FLAIR MR image.
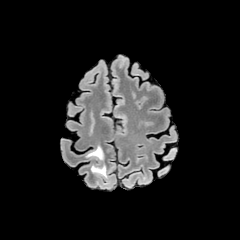
T1-weighted magnetic resonance.
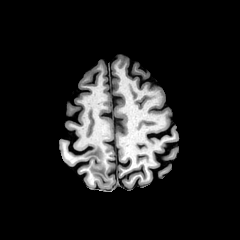
Post-contrast T1-weighted MR image.
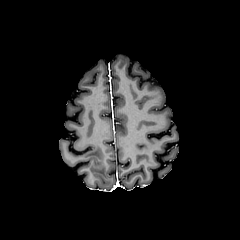
T2-weighted MR image.
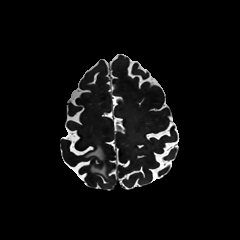
240x240 px | Axial slice
peritumoral edema = [86, 146, 103, 161], [91, 164, 106, 177]